FLAIR MR.
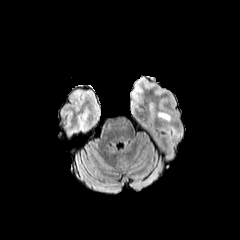
T1-weighted MR image.
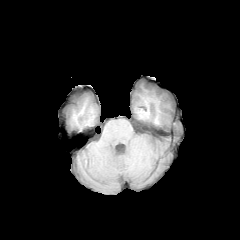
Post-contrast T1-weighted MRI.
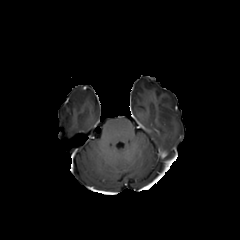
T2-weighted MR image.
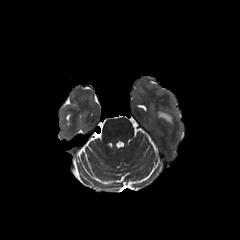
Brain
Segmented structures:
* peritumoral edema: x1=158, y1=112, x2=170, y2=121